240x240; Slice 62/155; Head
FLAIR MR.
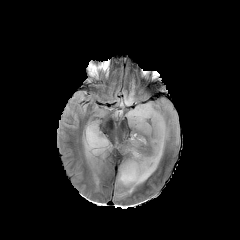
T1-weighted MR image.
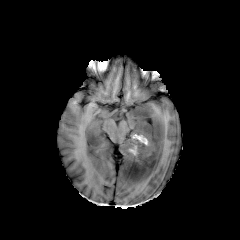
Post-contrast T1-weighted MR image.
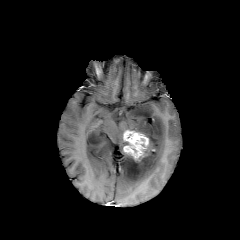
T2-weighted MR image.
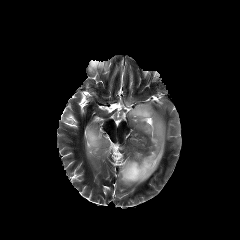
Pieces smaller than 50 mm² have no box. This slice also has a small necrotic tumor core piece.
{"enhancing_tumor": ["rect(123, 131, 148, 160)"], "peritumoral_edema": ["rect(120, 93, 134, 107)", "rect(117, 102, 168, 193)", "rect(83, 121, 111, 162)"]}